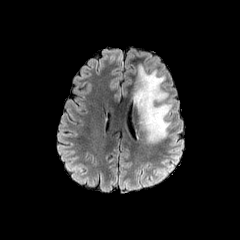
FLAIR MR image.
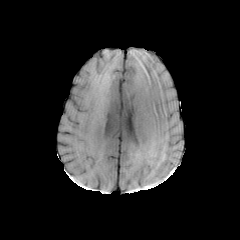
T1-weighted MR image.
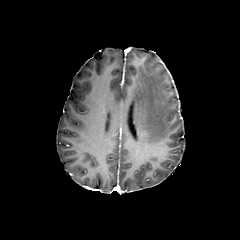
Post-contrast T1-weighted MRI.
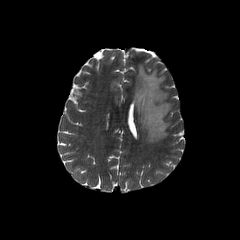
T2-weighted MR image.
Brain, Axial plane, Image size 240x240
- peritumoral edema: [132,63,171,143]